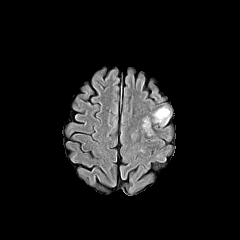
FLAIR MR.
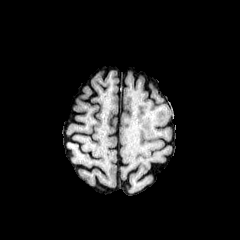
T1-weighted magnetic resonance of the same slice.
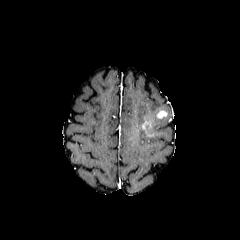
Post-contrast T1-weighted MR image of the same slice.
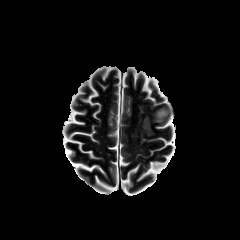
T2-weighted MR image.
Brain. Axial view.
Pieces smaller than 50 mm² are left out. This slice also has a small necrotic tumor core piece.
peritumoral edema: {"x1": 145, "y1": 126, "x2": 154, "y2": 136}, {"x1": 151, "y1": 105, "x2": 171, "y2": 126} | enhancing tumor: {"x1": 156, "y1": 110, "x2": 167, "y2": 118}